Slice 22/155; Head; Image width 240 mm; Axial slice
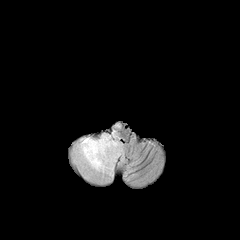
FLAIR MR image.
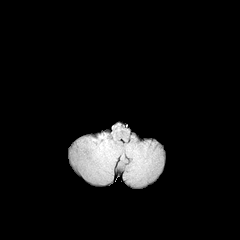
T1-weighted MR of the same slice.
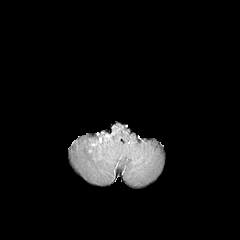
Same slice, post-contrast T1-weighted MRI.
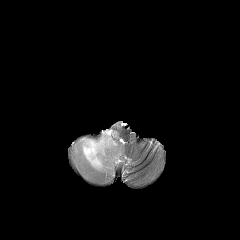
T2-weighted magnetic resonance.
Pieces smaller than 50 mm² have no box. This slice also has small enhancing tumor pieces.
The peritumoral edema lies within [71, 123, 125, 183].